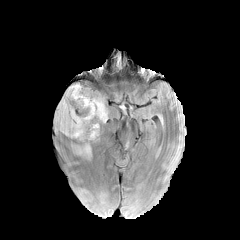
FLAIR MRI.
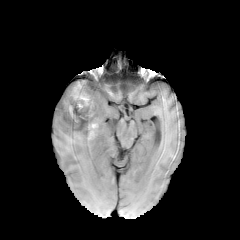
T1-weighted magnetic resonance.
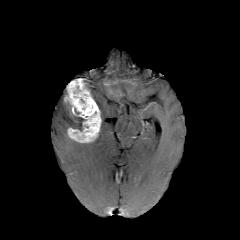
Post-contrast T1-weighted MR image of the same slice.
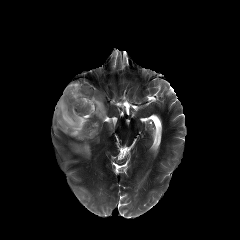
T2-weighted MR image of the same slice.
Head.
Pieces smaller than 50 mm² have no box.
Annotated regions:
* necrotic tumor core: {"x1": 74, "y1": 86, "x2": 86, "y2": 106}
* peritumoral edema: {"x1": 93, "y1": 97, "x2": 107, "y2": 122}, {"x1": 74, "y1": 143, "x2": 90, "y2": 156}, {"x1": 56, "y1": 98, "x2": 84, "y2": 135}
* enhancing tumor: {"x1": 64, "y1": 81, "x2": 101, "y2": 142}